240x240 px.
FLAIR MRI.
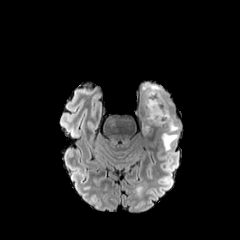
T1-weighted MRI.
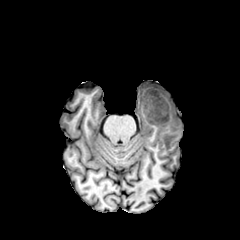
Post-contrast T1-weighted MRI.
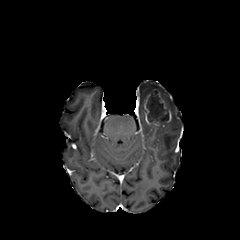
T2-weighted MR image.
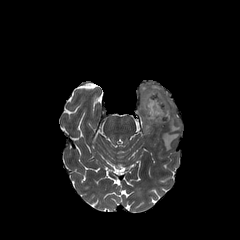
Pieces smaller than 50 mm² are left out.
enhancing tumor: {"x1": 142, "y1": 89, "x2": 172, "y2": 125}
necrotic tumor core: {"x1": 146, "y1": 95, "x2": 168, "y2": 123}
peritumoral edema: {"x1": 141, "y1": 83, "x2": 179, "y2": 150}